Axial view, Brain
FLAIR MRI.
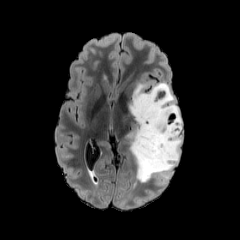
T1-weighted MR.
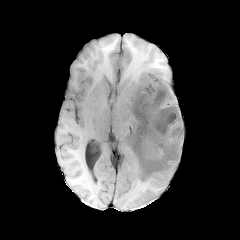
Post-contrast T1-weighted MR image.
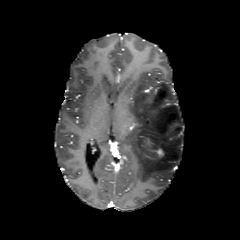
T2-weighted magnetic resonance.
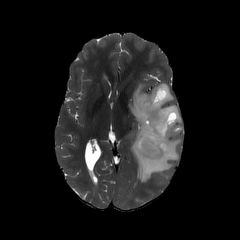
The peritumoral edema is located at x1=129 y1=82 x2=182 y2=182. The enhancing tumor is located at x1=143 y1=139 x2=163 y2=159.